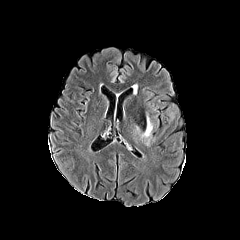
FLAIR magnetic resonance.
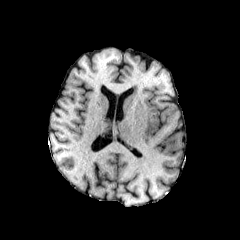
T1-weighted MR image.
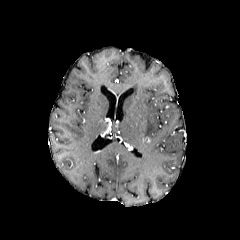
Same slice, post-contrast T1-weighted MRI.
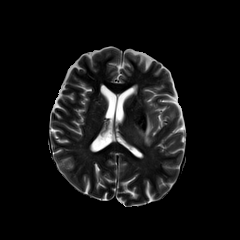
T2-weighted MR image.
240x240 px | Head
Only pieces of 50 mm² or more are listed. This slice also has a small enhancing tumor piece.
Findings:
* peritumoral edema: x1=142 y1=112 x2=152 y2=136